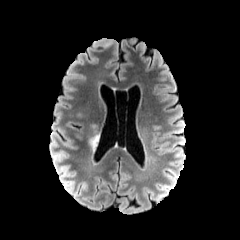
FLAIR MRI.
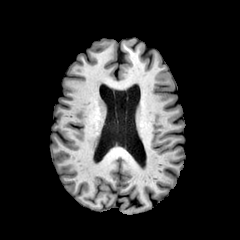
T1-weighted magnetic resonance.
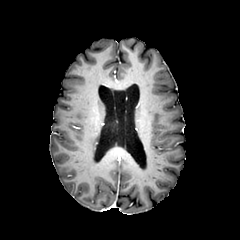
Same slice, post-contrast T1-weighted MRI.
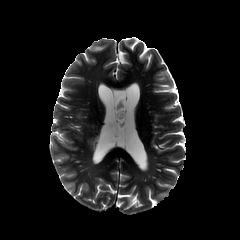
Same slice, T2-weighted MR.
Axial view
peritumoral edema = 89:135:99:150